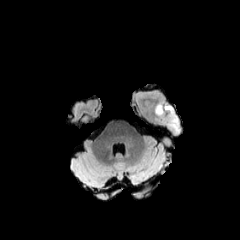
FLAIR magnetic resonance.
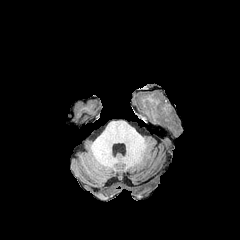
Same slice, T1-weighted magnetic resonance.
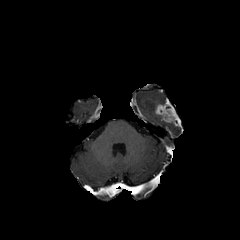
Post-contrast T1-weighted magnetic resonance.
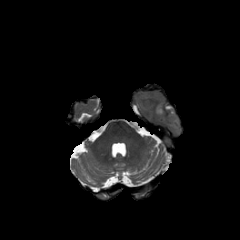
T2-weighted MR.
Axial slice | Brain
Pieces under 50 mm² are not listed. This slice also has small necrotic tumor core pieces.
Findings:
- peritumoral edema: rect(165, 123, 180, 132)
- enhancing tumor: rect(155, 103, 181, 127)